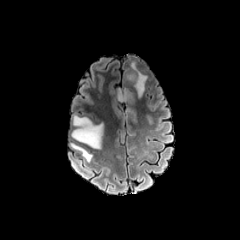
FLAIR MR image.
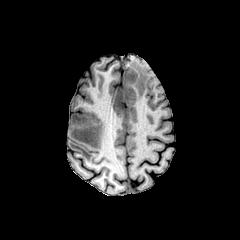
T1-weighted MRI.
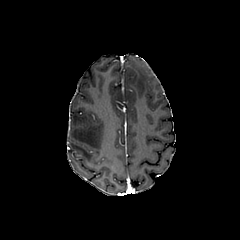
Post-contrast T1-weighted MR image of the same slice.
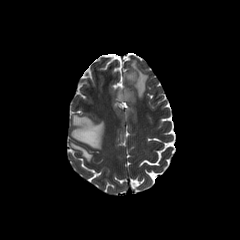
T2-weighted magnetic resonance.
Axial slice
4 peritumoral edema regions appear at 70, 143, 92, 161; 117, 89, 133, 100; 126, 62, 147, 98; 71, 115, 103, 149.